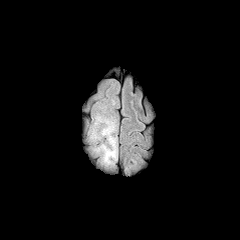
FLAIR magnetic resonance.
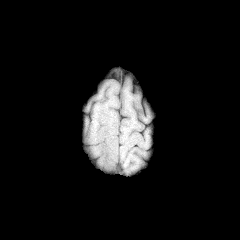
T1-weighted magnetic resonance of the same slice.
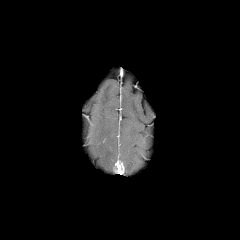
Post-contrast T1-weighted MR image.
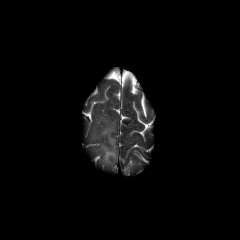
T2-weighted MRI.
Head.
The peritumoral edema is at left=91, top=116, right=117, bottom=165.